FLAIR MR.
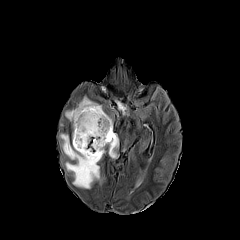
T1-weighted MRI.
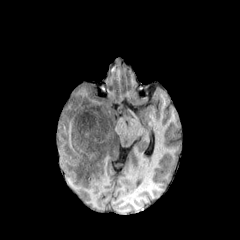
Post-contrast T1-weighted MR image.
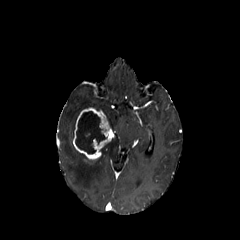
T2-weighted magnetic resonance.
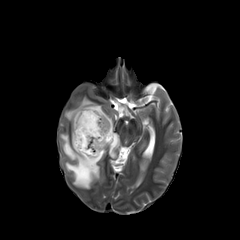
Axial plane
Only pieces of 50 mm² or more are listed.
enhancing tumor: bounding box (72, 107, 114, 160)
peritumoral edema: bounding box (65, 96, 102, 140), (116, 100, 125, 114), (107, 133, 118, 158), (104, 112, 112, 129), (60, 134, 102, 188)
necrotic tumor core: bounding box (75, 111, 106, 153)